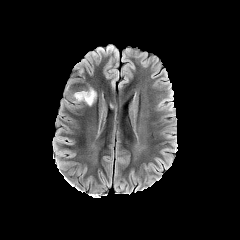
FLAIR MR.
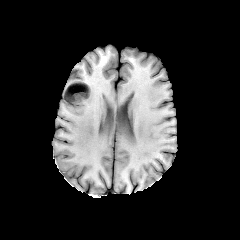
T1-weighted MRI of the same slice.
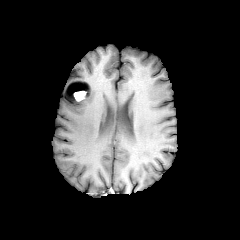
Same slice, post-contrast T1-weighted MR.
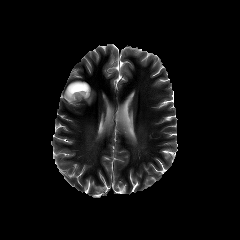
T2-weighted magnetic resonance.
240x240
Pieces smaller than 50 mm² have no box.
necrotic tumor core = <bbox>67, 82, 89, 95</bbox>
peritumoral edema = <bbox>82, 88, 96, 105</bbox>, <bbox>65, 89, 79, 103</bbox>
enhancing tumor = <bbox>64, 81, 90, 104</bbox>